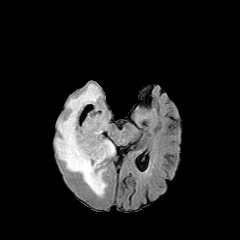
FLAIR MR image.
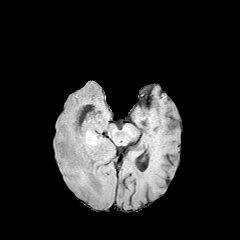
T1-weighted MR.
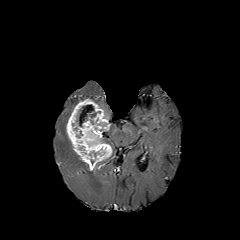
Same slice, post-contrast T1-weighted MR image.
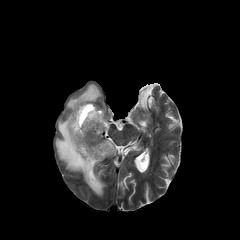
T2-weighted magnetic resonance of the same slice.
240x240 px | Brain
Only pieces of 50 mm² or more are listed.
The largest necrotic tumor core region is bounded by box=[78, 105, 94, 126]. The enhancing tumor appears at box=[66, 98, 112, 170]. The 2 largest peritumoral edema regions appear at box=[55, 83, 106, 197]; box=[102, 139, 115, 156].